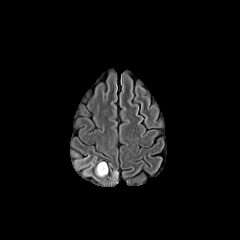
FLAIR MR.
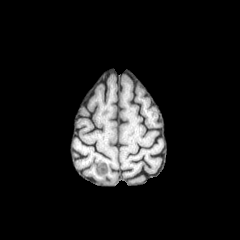
T1-weighted MRI of the same slice.
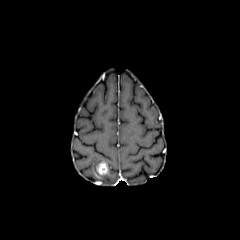
Same slice, post-contrast T1-weighted magnetic resonance.
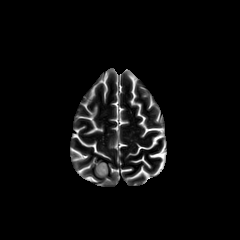
Same slice, T2-weighted MR image.
Brain
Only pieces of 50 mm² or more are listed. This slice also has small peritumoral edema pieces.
Annotated regions:
- enhancing tumor: rect(97, 162, 108, 174)